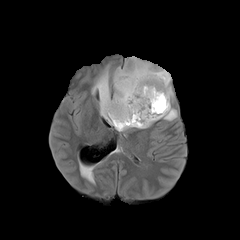
FLAIR MRI.
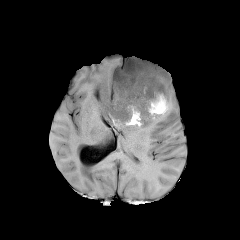
T1-weighted magnetic resonance of the same slice.
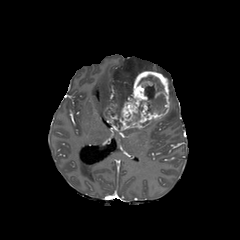
Same slice, post-contrast T1-weighted MRI.
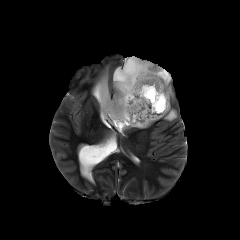
T2-weighted MR image.
Head, Axial plane
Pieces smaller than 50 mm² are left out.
enhancing tumor — <box>104,71,169,131</box>
necrotic tumor core — <box>133,101,142,120</box>, <box>140,76,166,113</box>
peritumoral edema — <box>92,57,177,120</box>